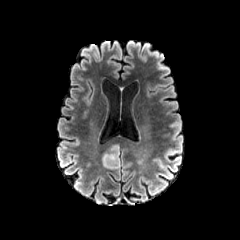
FLAIR MRI.
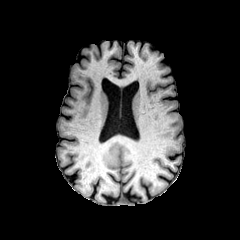
Same slice, T1-weighted MR image.
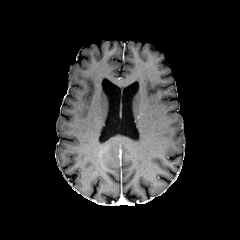
Post-contrast T1-weighted magnetic resonance of the same slice.
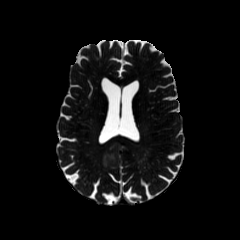
T2-weighted magnetic resonance.
The peritumoral edema is bounded by <bbox>102, 142, 119, 168</bbox>.